Slice 73 of 155. 240x240. Image width 240 mm, 1.00 mm slice spacing.
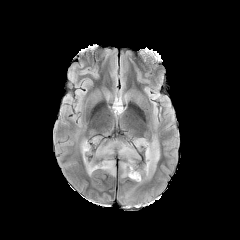
FLAIR MRI.
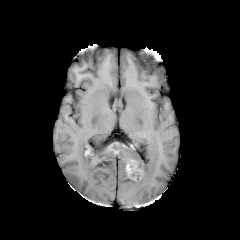
Same slice, T1-weighted MR image.
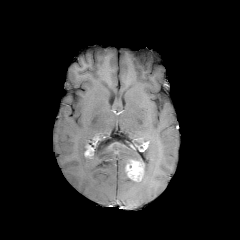
Post-contrast T1-weighted MR image.
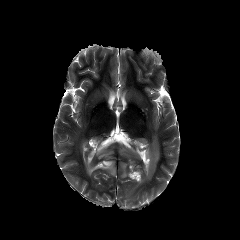
T2-weighted magnetic resonance.
enhancing tumor at bbox(125, 160, 144, 181); bbox(84, 144, 93, 158)
peritumoral edema at bbox(133, 138, 146, 148); bbox(137, 139, 159, 183); bbox(81, 138, 142, 175); bbox(121, 163, 127, 177)